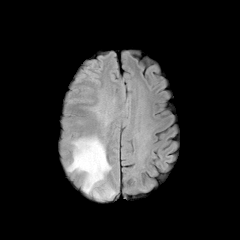
FLAIR MR.
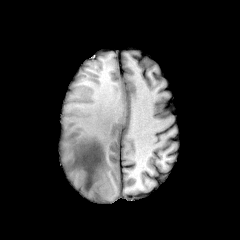
Same slice, T1-weighted MR.
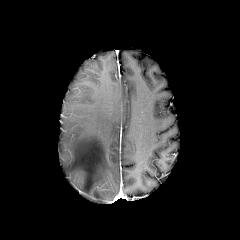
Post-contrast T1-weighted MR image.
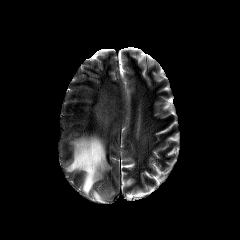
Same slice, T2-weighted MRI.
Brain
<segmentation>
  <peritumoral_edema>67,135,115,199</peritumoral_edema>
</segmentation>